Brain
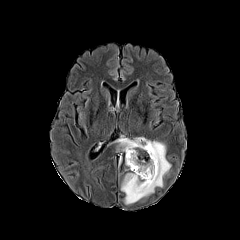
FLAIR magnetic resonance.
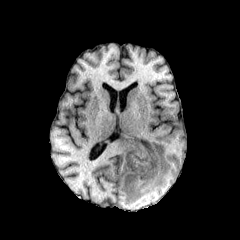
T1-weighted MRI of the same slice.
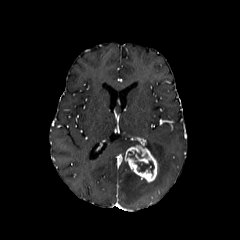
Post-contrast T1-weighted magnetic resonance.
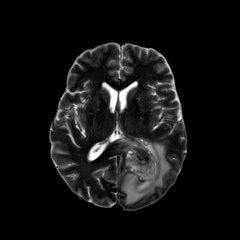
Same slice, T2-weighted MR image.
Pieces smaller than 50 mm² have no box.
enhancing_tumor:
  - 125, 138, 157, 182
peritumoral_edema:
  - 121, 140, 170, 204
  - 116, 138, 139, 151
necrotic_tumor_core:
  - 136, 161, 154, 173